FLAIR MRI.
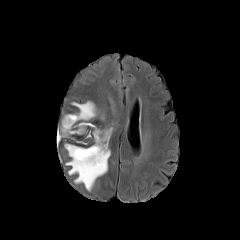
T1-weighted MR image.
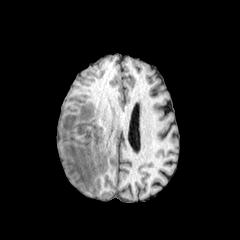
Post-contrast T1-weighted MRI.
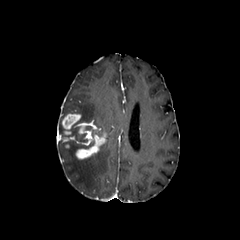
T2-weighted magnetic resonance.
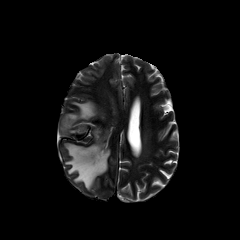
Image size 240x240, Axial view
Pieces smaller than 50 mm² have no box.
Findings:
* peritumoral edema: (64, 128, 112, 190), (70, 101, 97, 134)
* enhancing tumor: (74, 122, 106, 159), (62, 114, 80, 135)